FLAIR MR image.
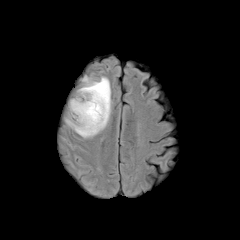
T1-weighted MR image.
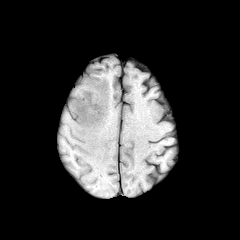
Post-contrast T1-weighted MR image.
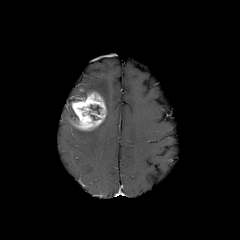
T2-weighted MRI.
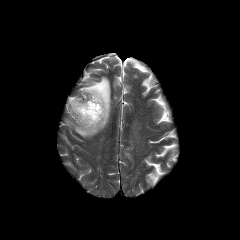
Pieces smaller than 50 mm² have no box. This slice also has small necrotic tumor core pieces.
peritumoral edema — (left=65, top=76, right=111, bottom=138)
enhancing tumor — (left=71, top=91, right=106, bottom=130)